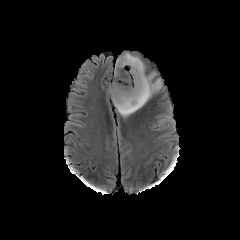
FLAIR magnetic resonance.
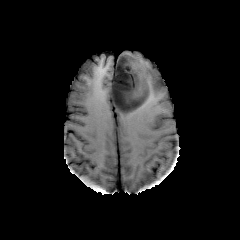
Same slice, T1-weighted magnetic resonance.
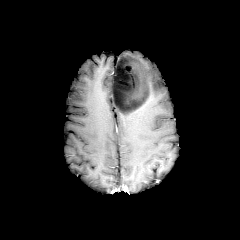
Post-contrast T1-weighted magnetic resonance.
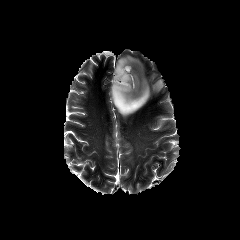
T2-weighted MR.
Axial slice
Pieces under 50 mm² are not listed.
The 3 largest peritumoral edema regions are located at l=117, t=53, r=145, b=74; l=109, t=86, r=141, b=117; l=146, t=73, r=162, b=102. The necrotic tumor core is bounded by l=112, t=57, r=148, b=112.